FLAIR MRI.
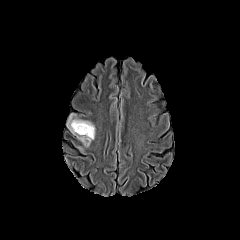
T1-weighted MRI.
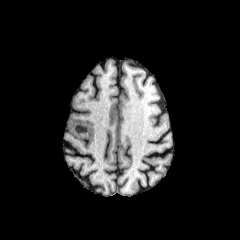
Post-contrast T1-weighted MR image.
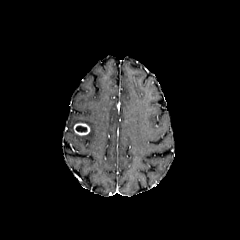
T2-weighted MR.
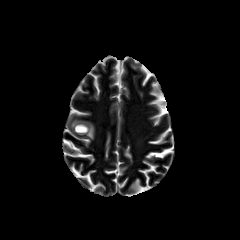
* enhancing tumor: 73 123 90 135
* peritumoral edema: 67 113 95 147
* necrotic tumor core: 76 126 86 132